FLAIR MR image.
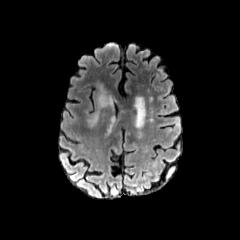
T1-weighted MR image.
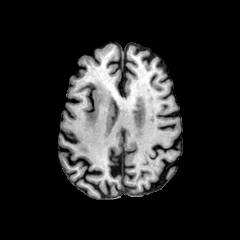
Post-contrast T1-weighted MR.
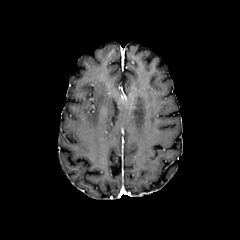
T2-weighted magnetic resonance.
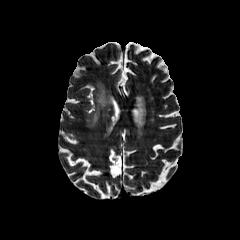
Axial plane
peritumoral edema: 90 84 112 124